Head | Slice 100/155
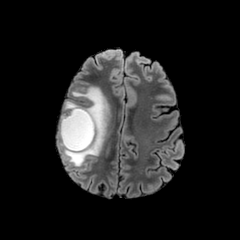
FLAIR magnetic resonance.
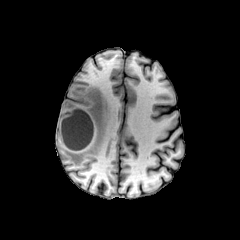
T1-weighted magnetic resonance of the same slice.
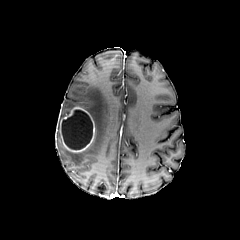
Same slice, post-contrast T1-weighted MRI.
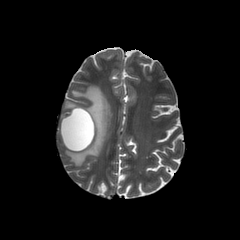
T2-weighted MR image of the same slice.
The necrotic tumor core appears at (x1=61, y1=109, x2=92, y2=149). The enhancing tumor is bounded by (x1=58, y1=106, x2=95, y2=152). The peritumoral edema lies within (x1=57, y1=86, x2=109, y2=166).